FLAIR MR image.
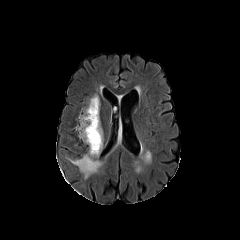
T1-weighted MR.
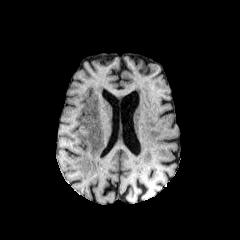
Post-contrast T1-weighted MRI.
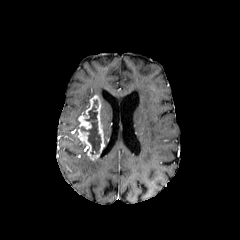
T2-weighted MRI.
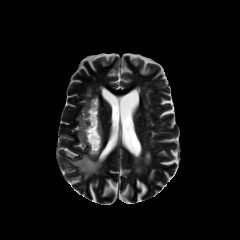
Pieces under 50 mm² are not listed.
<segmentation>
  <enhancing_tumor>left=76, top=95, right=104, bottom=159</enhancing_tumor>
  <necrotic_tumor_core>left=80, top=100, right=101, bottom=154</necrotic_tumor_core>
  <peritumoral_edema>left=68, top=154, right=102, bottom=179</peritumoral_edema>
</segmentation>